FLAIR magnetic resonance.
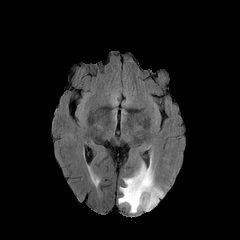
T1-weighted MRI.
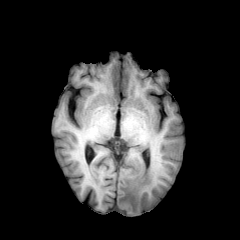
Post-contrast T1-weighted MR image.
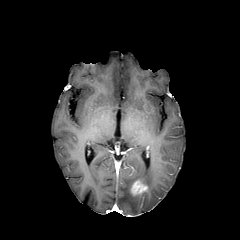
T2-weighted MR.
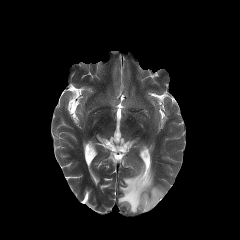
Brain; Axial slice
The enhancing tumor lies within (129, 179, 147, 197). The peritumoral edema is bounded by (118, 161, 163, 213).